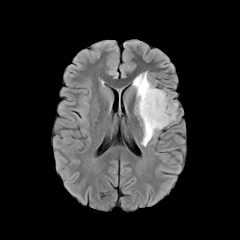
FLAIR magnetic resonance.
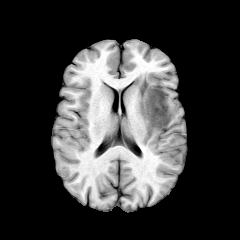
T1-weighted MR image.
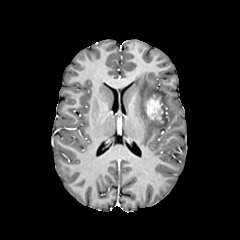
Post-contrast T1-weighted MRI of the same slice.
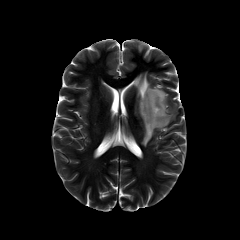
T2-weighted MR image of the same slice.
Axial slice; 240x240
The enhancing tumor is at l=146, t=95, r=163, b=122. The peritumoral edema appears at l=133, t=72, r=177, b=146.